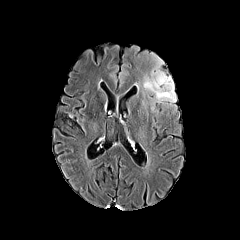
FLAIR MR.
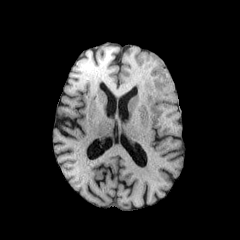
T1-weighted MR image of the same slice.
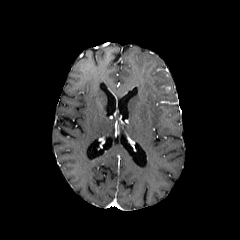
Same slice, post-contrast T1-weighted magnetic resonance.
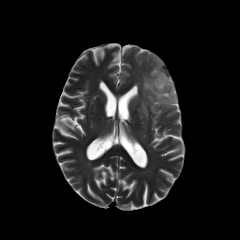
T2-weighted MR image.
Brain.
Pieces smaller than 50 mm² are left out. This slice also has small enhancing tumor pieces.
peritumoral_edema:
  - region(142, 54, 176, 107)